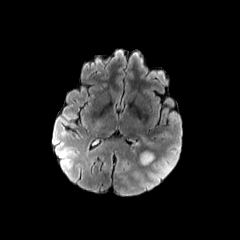
FLAIR MRI.
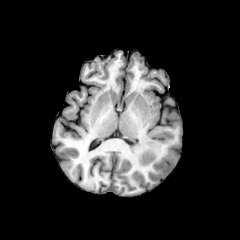
T1-weighted MRI.
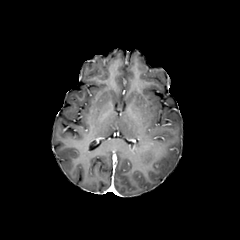
Post-contrast T1-weighted MR.
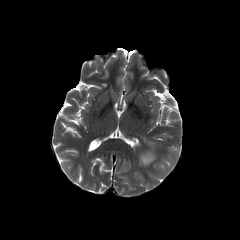
T2-weighted MR image of the same slice.
Head.
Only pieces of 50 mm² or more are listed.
peritumoral edema — l=140, t=151, r=154, b=165